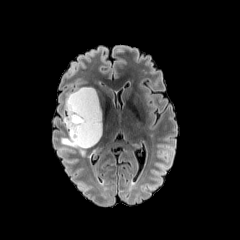
FLAIR MR image.
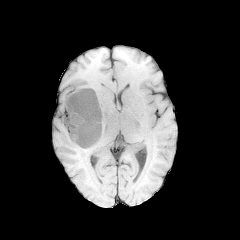
T1-weighted MR image of the same slice.
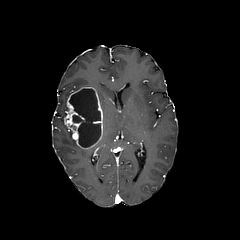
Post-contrast T1-weighted MR image of the same slice.
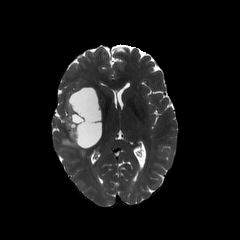
T2-weighted magnetic resonance.
Head | Axial view
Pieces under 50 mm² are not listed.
necrotic tumor core: (x1=69, y1=89, x2=100, y2=147) | peritumoral edema: (x1=61, y1=131, x2=85, y2=155) | enhancing tumor: (x1=64, y1=87, x2=102, y2=148)